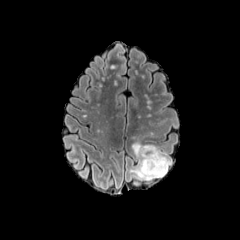
FLAIR MR.
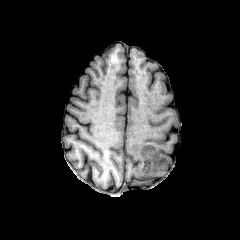
T1-weighted MRI.
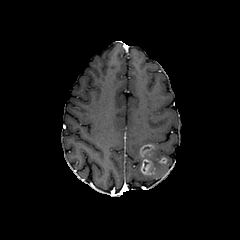
Post-contrast T1-weighted MRI.
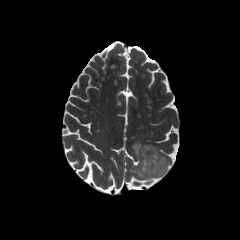
T2-weighted MR image of the same slice.
Axial view
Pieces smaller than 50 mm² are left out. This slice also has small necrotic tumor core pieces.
The peritumoral edema lies within bbox(129, 142, 171, 180). The largest enhancing tumor region is located at bbox(140, 144, 155, 175).